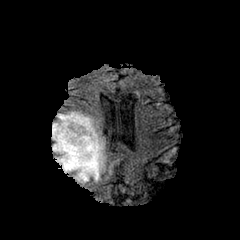
FLAIR MR.
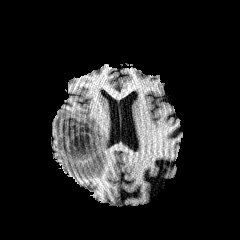
T1-weighted magnetic resonance of the same slice.
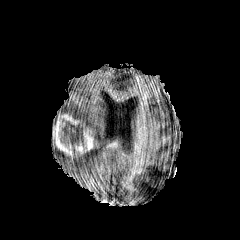
Post-contrast T1-weighted MR image of the same slice.
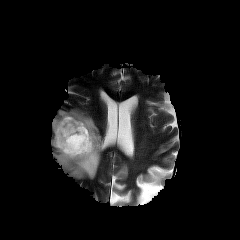
T2-weighted MR image.
Brain | Axial plane
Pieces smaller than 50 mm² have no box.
enhancing_tumor:
  - left=53, top=114, right=95, bottom=160
necrotic_tumor_core:
  - left=61, top=123, right=84, bottom=146
peritumoral_edema:
  - left=52, top=110, right=102, bottom=180